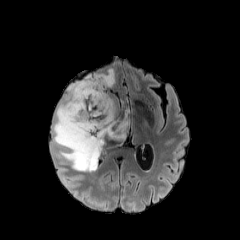
FLAIR MRI.
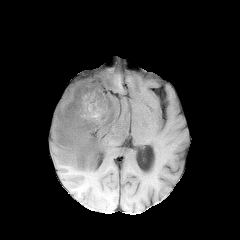
T1-weighted MR image.
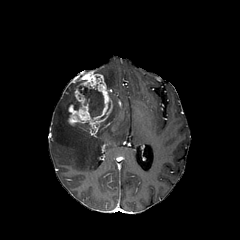
Post-contrast T1-weighted MR image.
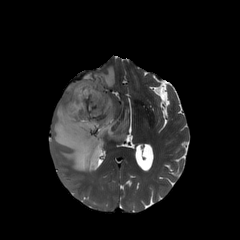
Same slice, T2-weighted MR.
Axial slice. 240x240.
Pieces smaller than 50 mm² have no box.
enhancing tumor — left=67, top=73, right=112, bottom=135
necrotic tumor core — left=78, top=85, right=104, bottom=118
peritumoral edema — left=97, top=68, right=115, bottom=89; left=53, top=80, right=128, bottom=171